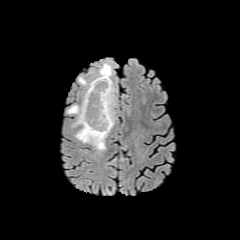
FLAIR MRI.
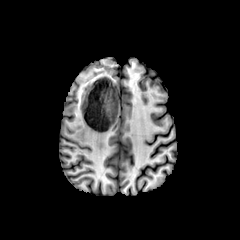
T1-weighted MR.
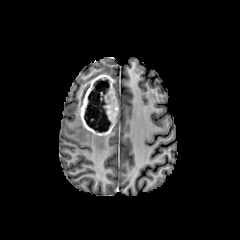
Same slice, post-contrast T1-weighted MR image.
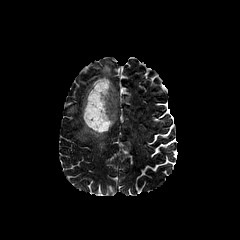
Same slice, T2-weighted magnetic resonance.
Head.
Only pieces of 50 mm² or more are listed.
peritumoral_edema:
  - 79 78 91 89
  - 67 105 107 151
  - 93 62 113 78
enhancing_tumor:
  - 80 74 118 135
necrotic_tumor_core:
  - 84 79 111 132